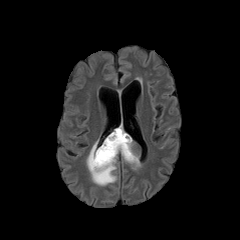
FLAIR MR image.
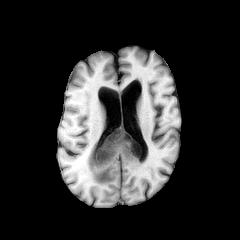
T1-weighted MRI.
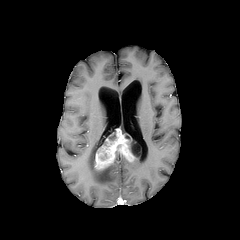
Post-contrast T1-weighted MR.
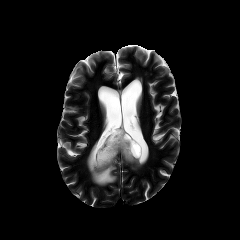
T2-weighted magnetic resonance of the same slice.
Head; Axial plane
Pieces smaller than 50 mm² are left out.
necrotic tumor core = bbox(130, 141, 139, 158)
peritumoral edema = bbox(86, 139, 118, 185); bbox(121, 155, 141, 169)
enhancing tumor = bbox(94, 128, 141, 170)